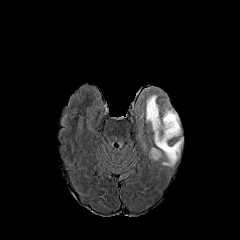
FLAIR MR image.
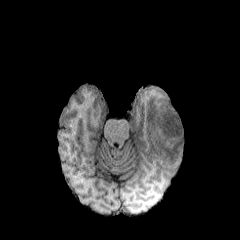
Same slice, T1-weighted magnetic resonance.
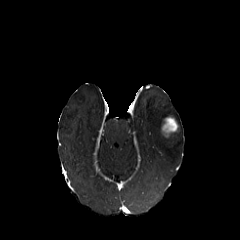
Same slice, post-contrast T1-weighted MR.
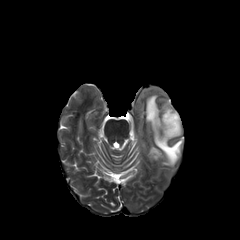
T2-weighted MR image.
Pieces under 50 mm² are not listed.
The 2 largest peritumoral edema regions are located at (left=150, top=148, right=160, bottom=159), (left=146, top=95, right=182, bottom=166). The enhancing tumor is located at (left=161, top=116, right=178, bottom=137).